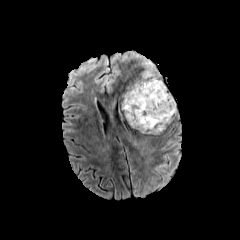
FLAIR MR.
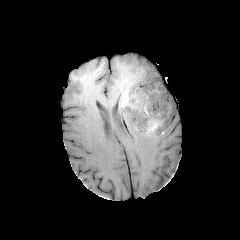
T1-weighted MR.
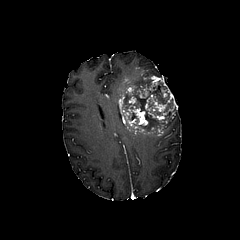
Post-contrast T1-weighted MR of the same slice.
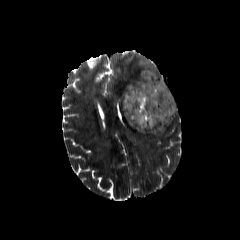
T2-weighted MRI.
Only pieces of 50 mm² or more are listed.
<segmentation>
  <necrotic_tumor_core>l=164, t=100, r=172, b=112; l=123, t=80, r=172, b=128</necrotic_tumor_core>
  <peritumoral_edema>l=141, t=59, r=160, b=77</peritumoral_edema>
  <enhancing_tumor>l=119, t=71, r=178, b=135</enhancing_tumor>
</segmentation>